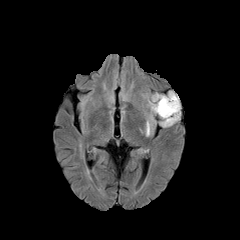
FLAIR MR image.
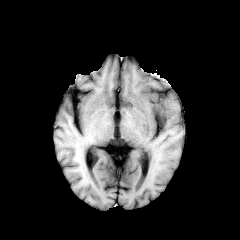
T1-weighted MRI.
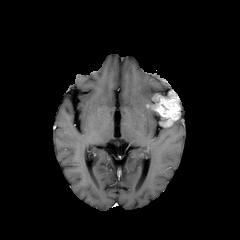
Post-contrast T1-weighted MR image of the same slice.
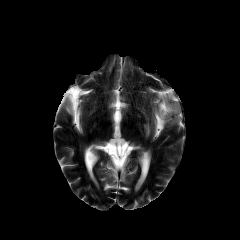
T2-weighted magnetic resonance of the same slice.
240x240 px | Head
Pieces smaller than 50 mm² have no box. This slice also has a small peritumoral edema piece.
The enhancing tumor appears at x1=151 y1=90 x2=180 y2=126.